FLAIR MRI.
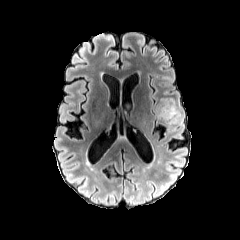
T1-weighted magnetic resonance.
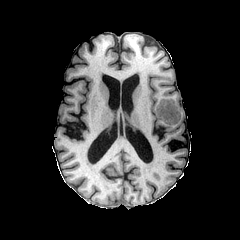
Post-contrast T1-weighted MR image.
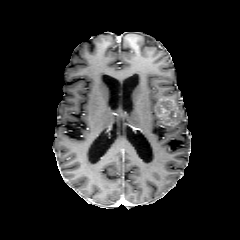
T2-weighted MR image.
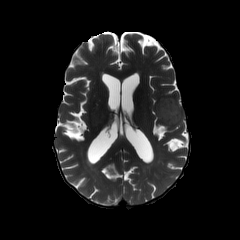
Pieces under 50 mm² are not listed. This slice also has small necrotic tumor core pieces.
<segmentation>
  <peritumoral_edema>bbox(175, 100, 183, 124)</peritumoral_edema>
  <enhancing_tumor>bbox(157, 97, 179, 124)</enhancing_tumor>
</segmentation>